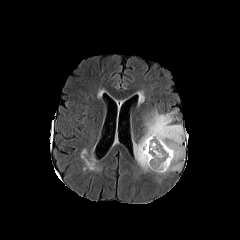
FLAIR magnetic resonance.
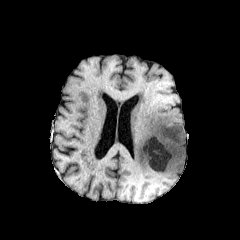
Same slice, T1-weighted magnetic resonance.
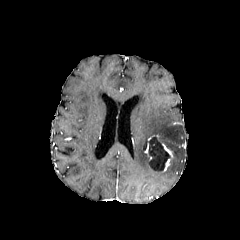
Post-contrast T1-weighted magnetic resonance.
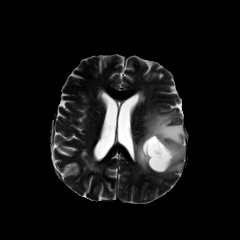
T2-weighted MRI.
Brain
peritumoral edema: (134, 110, 187, 175)
necrotic tumor core: (148, 136, 170, 171)
enhancing tumor: (162, 143, 174, 171), (144, 137, 151, 160)